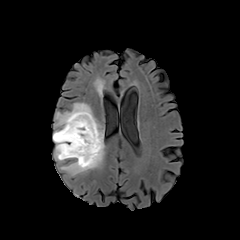
FLAIR MR.
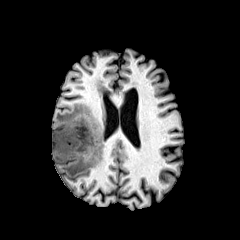
T1-weighted MR image.
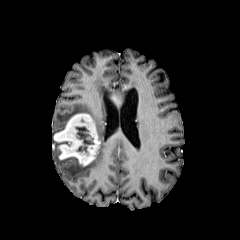
Post-contrast T1-weighted MR.
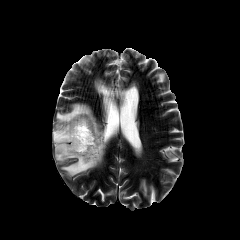
Same slice, T2-weighted MR image.
Image size 240x240; Head; Axial view
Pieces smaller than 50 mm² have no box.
The largest necrotic tumor core region appears at region(75, 126, 93, 152). The peritumoral edema is bounded by region(53, 103, 105, 176). The enhancing tumor is bounded by region(53, 113, 100, 166).